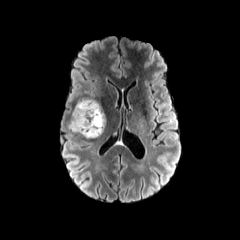
FLAIR magnetic resonance.
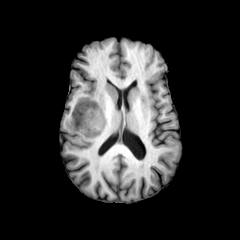
T1-weighted MR.
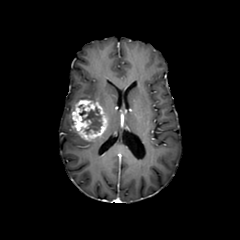
Same slice, post-contrast T1-weighted MR image.
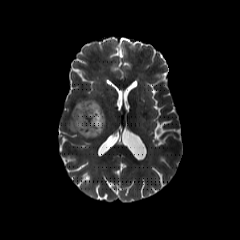
T2-weighted MRI.
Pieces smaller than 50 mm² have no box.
peritumoral edema: 68 114 76 132 | enhancing tumor: 72 100 107 142 | necrotic tumor core: 79 106 102 133